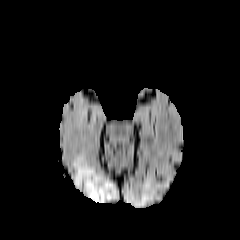
FLAIR MR image.
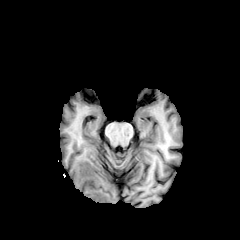
T1-weighted MRI of the same slice.
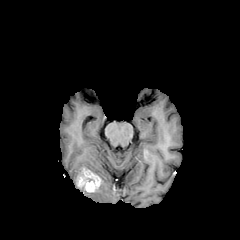
Post-contrast T1-weighted MRI.
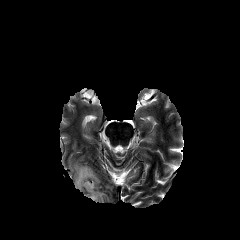
T2-weighted MR.
Axial view
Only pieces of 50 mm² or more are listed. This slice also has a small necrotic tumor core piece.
enhancing tumor — {"x1": 76, "y1": 167, "x2": 100, "y2": 192}
peritumoral edema — {"x1": 85, "y1": 182, "x2": 115, "y2": 202}, {"x1": 74, "y1": 159, "x2": 95, "y2": 186}